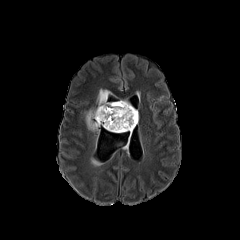
FLAIR MR.
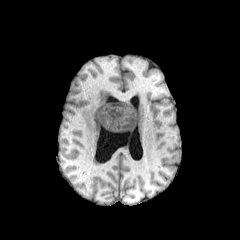
T1-weighted MR.
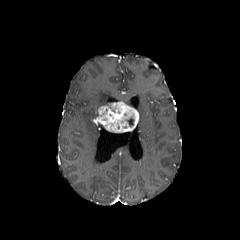
Post-contrast T1-weighted MRI.
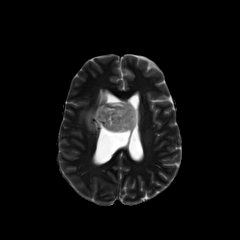
T2-weighted MR.
Head | 240x240 px
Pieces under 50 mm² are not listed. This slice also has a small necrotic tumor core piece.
Segmented structures:
• peritumoral edema: (85, 108, 100, 131), (97, 89, 110, 107)
• enhancing tumor: (94, 101, 139, 132)